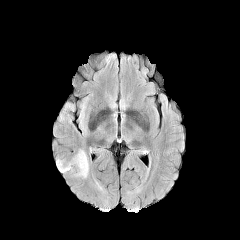
FLAIR MR.
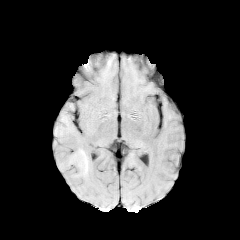
T1-weighted MR.
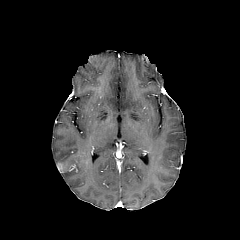
Post-contrast T1-weighted MR of the same slice.
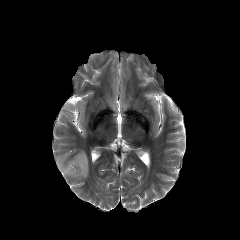
T2-weighted MR image of the same slice.
Brain
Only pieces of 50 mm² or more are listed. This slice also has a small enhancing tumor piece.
The peritumoral edema lies within bbox=[56, 149, 88, 178].